FLAIR MR image.
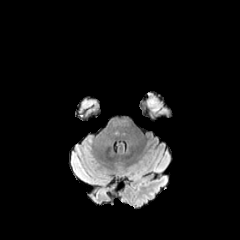
T1-weighted MRI.
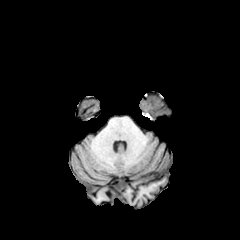
Post-contrast T1-weighted magnetic resonance.
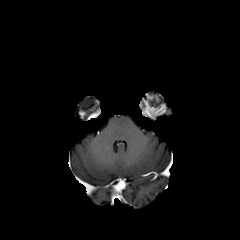
T2-weighted MR.
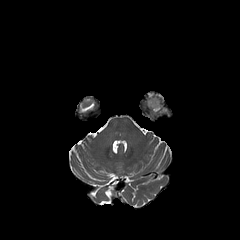
Axial slice
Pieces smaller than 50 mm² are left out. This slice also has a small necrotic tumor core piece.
The enhancing tumor lies within (x1=145, y1=96, x2=166, y2=119). The largest peritumoral edema region lies within (x1=143, y1=92, x2=159, y2=109).